FLAIR magnetic resonance.
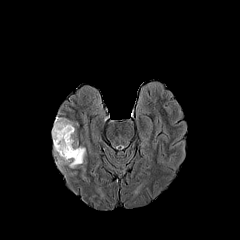
T1-weighted MR.
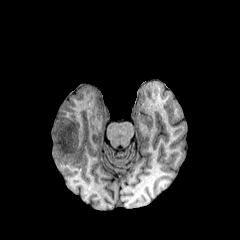
Post-contrast T1-weighted MR.
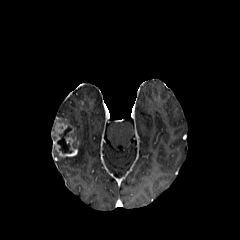
T2-weighted MR image.
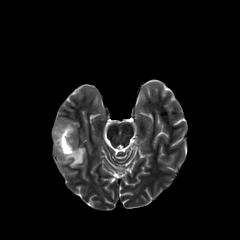
Head
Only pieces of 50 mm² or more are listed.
The largest necrotic tumor core region is bounded by region(57, 126, 72, 153). The enhancing tumor appears at region(51, 117, 78, 157). The largest peritumoral edema region is located at region(54, 145, 85, 168).